240x240, Brain, Slice 109/155, Axial view
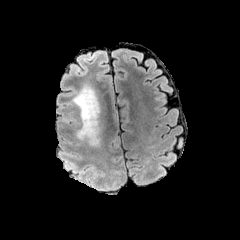
FLAIR MR.
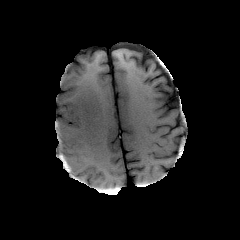
T1-weighted MRI.
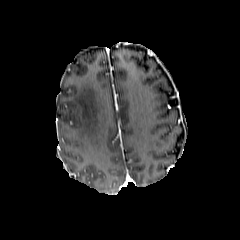
Post-contrast T1-weighted MR image of the same slice.
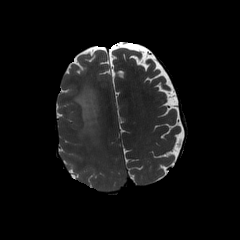
Same slice, T2-weighted magnetic resonance.
peritumoral edema at bbox=[73, 84, 99, 145]